FLAIR magnetic resonance.
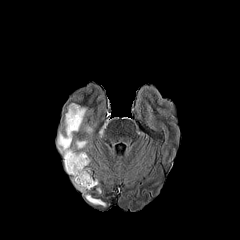
T1-weighted MR.
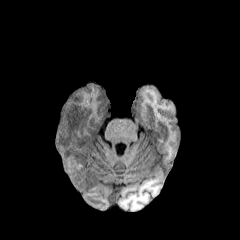
Post-contrast T1-weighted magnetic resonance.
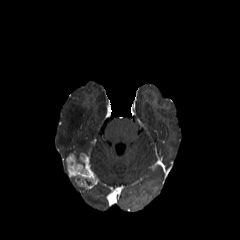
T2-weighted MR image.
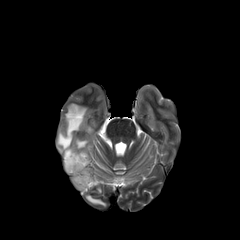
Head
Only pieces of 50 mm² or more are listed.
Segmented structures:
- necrotic tumor core: bbox(74, 152, 84, 166)
- enhancing tumor: bbox(66, 153, 98, 189)
- peritumoral edema: bbox(86, 195, 105, 205); bbox(57, 103, 86, 171); bbox(75, 140, 87, 149)